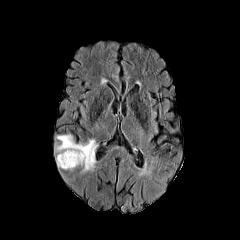
FLAIR MR.
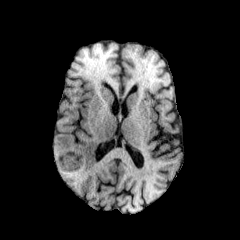
T1-weighted magnetic resonance.
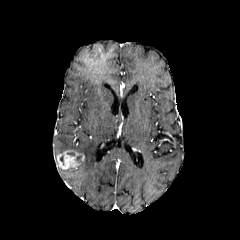
Post-contrast T1-weighted magnetic resonance.
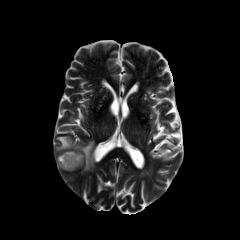
T2-weighted magnetic resonance.
Axial plane
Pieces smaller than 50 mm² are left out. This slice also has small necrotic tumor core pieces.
enhancing tumor: (57,150,84,169) | peritumoral edema: (56,135,95,168)